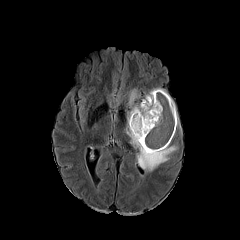
FLAIR MR.
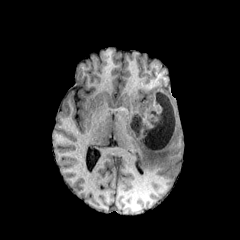
T1-weighted MRI.
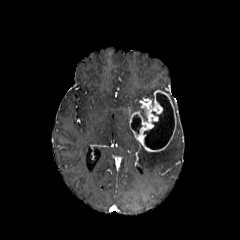
Post-contrast T1-weighted MRI of the same slice.
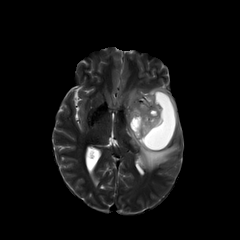
T2-weighted MR.
Head
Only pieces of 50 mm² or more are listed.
3 peritumoral edema regions are located at x1=145 y1=87 x2=165 y2=104, x1=173 y1=101 x2=180 y2=129, x1=126 y1=89 x2=177 y2=171. The enhancing tumor is at x1=129 y1=90 x2=176 y2=152. The 2 largest necrotic tumor core regions appear at x1=144 y1=93 x2=174 y2=149, x1=131 y1=115 x2=141 y2=133.